FLAIR MR.
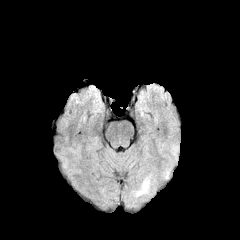
T1-weighted MRI.
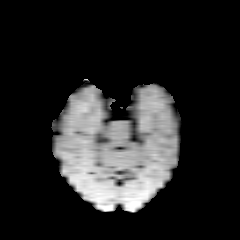
Post-contrast T1-weighted MR image.
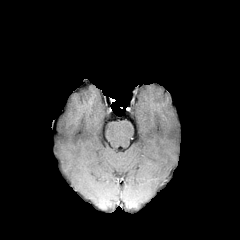
T2-weighted MR.
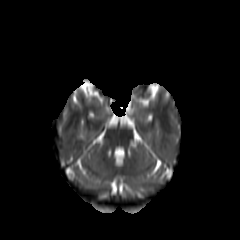
Brain, Axial plane
<segmentation>
  <peritumoral_edema>[x1=136, y1=178, x2=149, y2=196]</peritumoral_edema>
</segmentation>